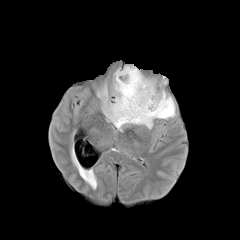
FLAIR MRI.
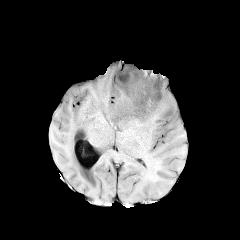
T1-weighted MR image.
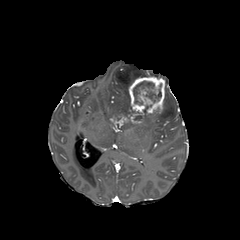
Post-contrast T1-weighted MR image.
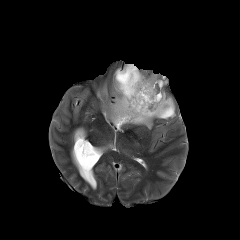
T2-weighted magnetic resonance of the same slice.
Head | Axial plane
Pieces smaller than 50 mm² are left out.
The 2 largest peritumoral edema regions are located at x1=134 y1=92 x2=175 y2=128, x1=97 y1=65 x2=143 y2=120. The largest enhancing tumor region lies within x1=110 y1=77 x2=164 y2=127. The 2 largest necrotic tumor core regions appear at x1=146 y1=90 x2=161 y2=102, x1=133 y1=83 x2=154 y2=104.